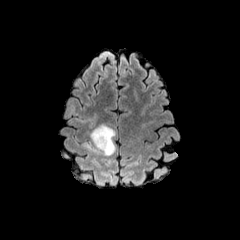
FLAIR MR.
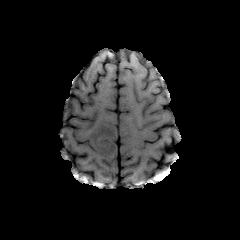
T1-weighted MR image.
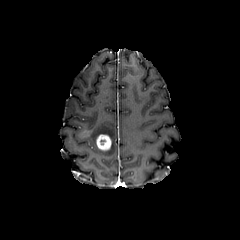
Post-contrast T1-weighted MR.
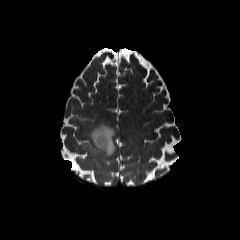
Same slice, T2-weighted MR image.
Brain | Axial slice
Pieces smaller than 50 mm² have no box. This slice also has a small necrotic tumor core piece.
enhancing tumor = 96 134 111 150
peritumoral edema = 83 124 115 155